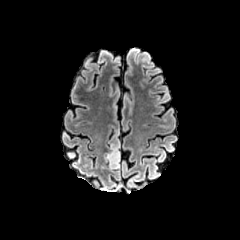
FLAIR magnetic resonance.
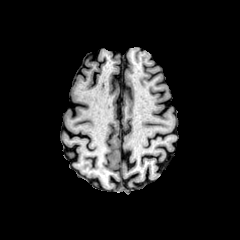
T1-weighted MRI.
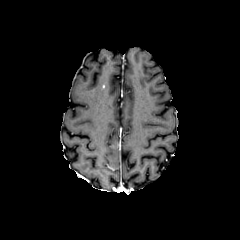
Same slice, post-contrast T1-weighted MR.
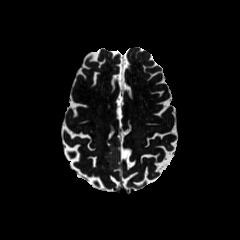
T2-weighted MR.
Axial view
peritumoral edema — 105:140:120:169